Head
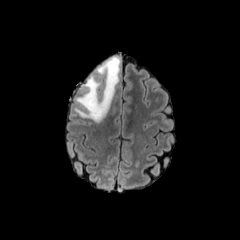
FLAIR MR.
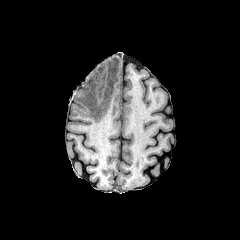
T1-weighted MRI.
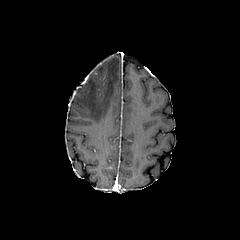
Post-contrast T1-weighted magnetic resonance.
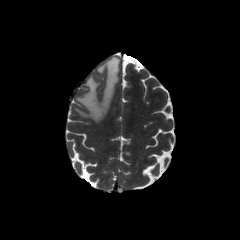
T2-weighted MRI of the same slice.
The peritumoral edema is located at x1=75 y1=57 x2=120 y2=122.